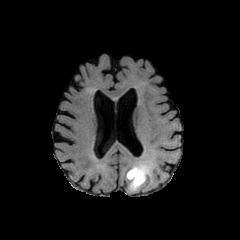
FLAIR magnetic resonance.
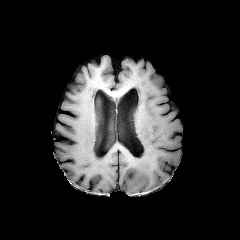
Same slice, T1-weighted MRI.
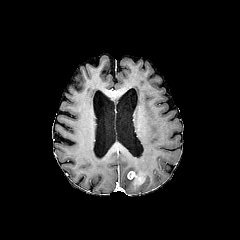
Post-contrast T1-weighted MRI.
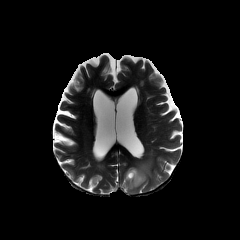
Same slice, T2-weighted MRI.
Brain. Axial plane.
- peritumoral edema: bbox(126, 157, 152, 191)
- enhancing tumor: bbox(127, 171, 145, 186)